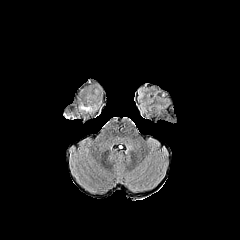
FLAIR magnetic resonance.
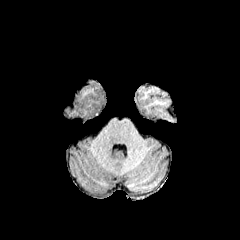
Same slice, T1-weighted magnetic resonance.
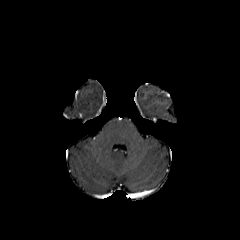
Same slice, post-contrast T1-weighted MR image.
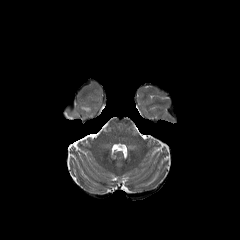
Same slice, T2-weighted MR image.
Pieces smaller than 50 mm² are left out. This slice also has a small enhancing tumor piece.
peritumoral edema at [x1=79, y1=104, x2=97, y2=113]